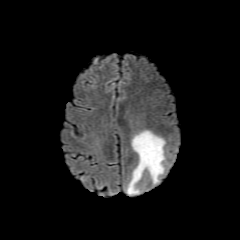
FLAIR MRI.
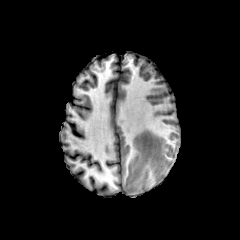
Same slice, T1-weighted MR.
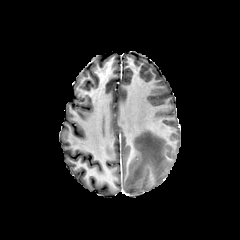
Post-contrast T1-weighted MRI.
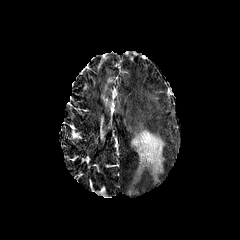
Same slice, T2-weighted magnetic resonance.
Brain
• peritumoral edema: [x1=127, y1=130, x2=165, y2=194]